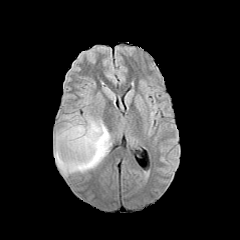
FLAIR MR image.
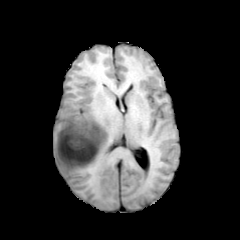
T1-weighted magnetic resonance.
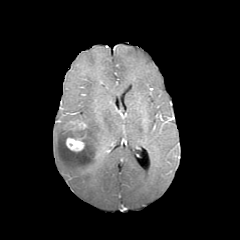
Post-contrast T1-weighted magnetic resonance.
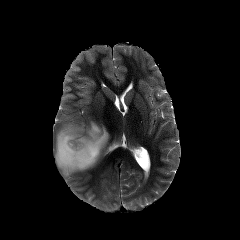
T2-weighted MR of the same slice.
240x240 px; Axial plane
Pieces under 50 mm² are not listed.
Annotated regions:
- enhancing tumor: (left=65, top=121, right=104, bottom=158)
- peritumoral edema: (left=54, top=114, right=111, bottom=176)
- necrotic tumor core: (left=82, top=138, right=97, bottom=156)